Slice index 113, 240x240 px
FLAIR MR image.
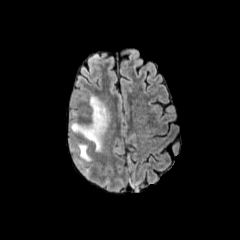
T1-weighted MR image.
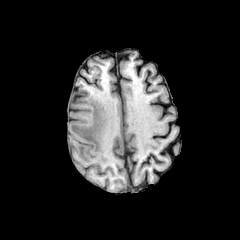
Post-contrast T1-weighted magnetic resonance.
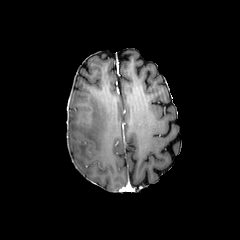
T2-weighted magnetic resonance.
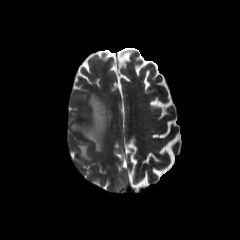
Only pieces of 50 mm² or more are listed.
{
  "peritumoral_edema": [
    "rect(77, 143, 90, 161)",
    "rect(70, 95, 111, 152)"
  ]
}